Axial view, Image width 240 mm, Head
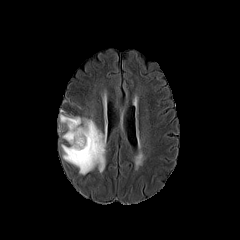
FLAIR MR.
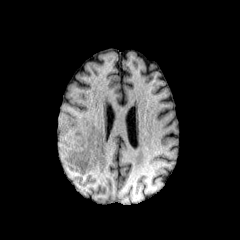
Same slice, T1-weighted MR image.
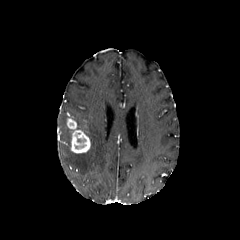
Post-contrast T1-weighted magnetic resonance.
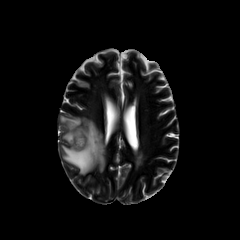
T2-weighted magnetic resonance.
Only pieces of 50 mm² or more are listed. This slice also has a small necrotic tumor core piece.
enhancing tumor — 66,116,90,153
peritumoral edema — 59,114,72,144; 61,116,106,174